FLAIR MR.
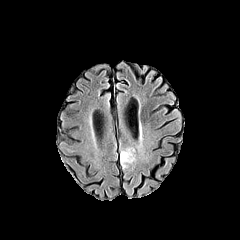
T1-weighted magnetic resonance.
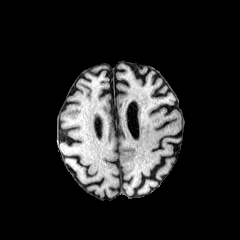
Post-contrast T1-weighted magnetic resonance.
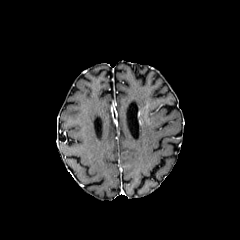
T2-weighted MR.
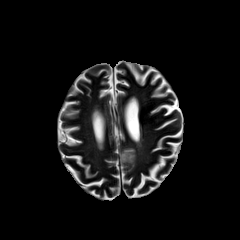
Image size 240x240
peritumoral edema = {"x1": 120, "y1": 148, "x2": 135, "y2": 168}